Axial slice, Slice 124/155
FLAIR MR.
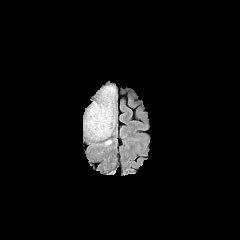
T1-weighted MR.
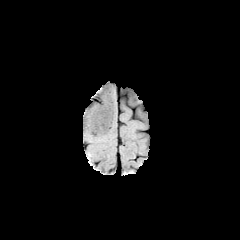
Post-contrast T1-weighted magnetic resonance.
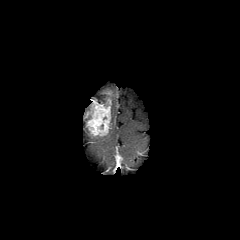
T2-weighted MR.
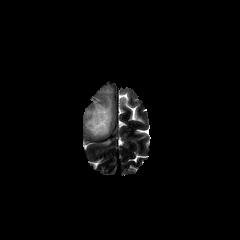
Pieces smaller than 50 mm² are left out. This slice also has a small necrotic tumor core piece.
<segmentation>
  <peritumoral_edema>83, 86, 114, 138</peritumoral_edema>
  <enhancing_tumor>84, 89, 112, 136</enhancing_tumor>
</segmentation>